Slice index 69; Axial plane; Image size 240x240; Head
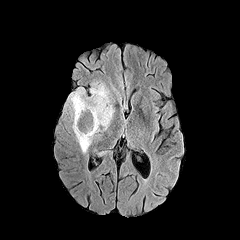
FLAIR magnetic resonance.
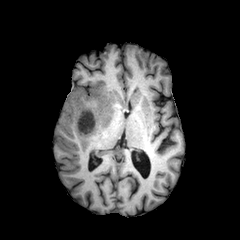
T1-weighted MRI of the same slice.
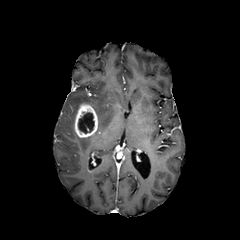
Post-contrast T1-weighted MR of the same slice.
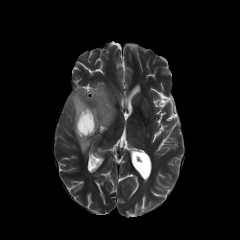
Same slice, T2-weighted MR image.
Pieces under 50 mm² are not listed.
peritumoral edema = (x1=68, y1=83, x2=114, y2=133), (x1=76, y1=133, x2=95, y2=153)
necrotic tumor core = (x1=78, y1=112, x2=94, y2=133)
enhancing tumor = (x1=74, y1=103, x2=97, y2=137)